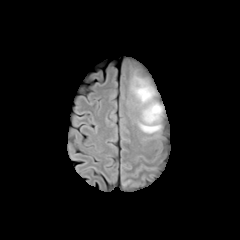
FLAIR MR.
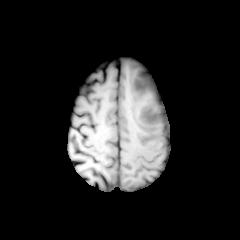
T1-weighted MR image.
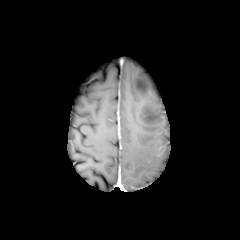
Post-contrast T1-weighted MR image.
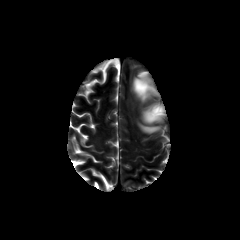
T2-weighted MRI of the same slice.
Head
{"peritumoral_edema": ["rect(139, 103, 162, 133)", "rect(131, 74, 154, 102)"]}